FLAIR magnetic resonance.
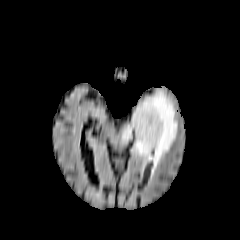
T1-weighted MR.
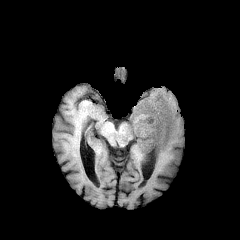
Post-contrast T1-weighted MR.
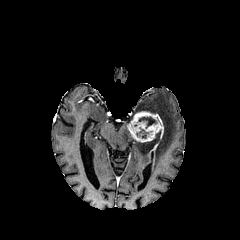
T2-weighted MR image.
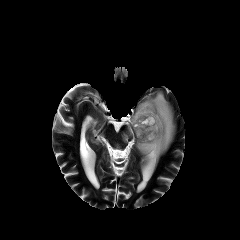
Head; 240x240 px
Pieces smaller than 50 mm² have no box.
<segmentation>
  <enhancing_tumor>127,111,163,142</enhancing_tumor>
  <peritumoral_edema>122,125,132,142; 132,90,176,166</peritumoral_edema>
  <necrotic_tumor_core>136,129,148,137; 138,117,156,128</necrotic_tumor_core>
</segmentation>